Axial plane | Slice 64/155 | Head
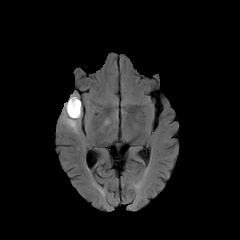
FLAIR MRI.
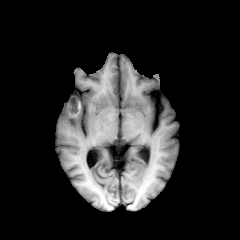
Same slice, T1-weighted MR image.
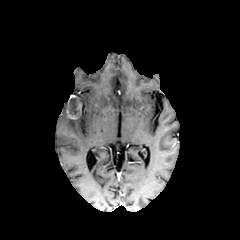
Same slice, post-contrast T1-weighted MRI.
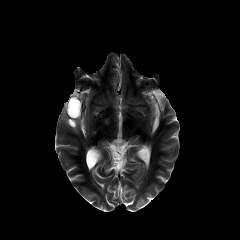
T2-weighted magnetic resonance.
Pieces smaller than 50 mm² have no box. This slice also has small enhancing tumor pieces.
- peritumoral edema: box=[61, 102, 81, 132]
- necrotic tumor core: box=[67, 97, 80, 118]